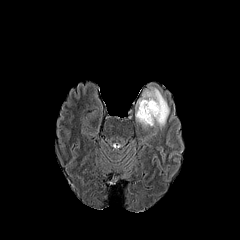
FLAIR MR.
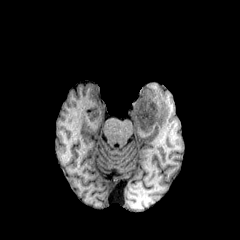
T1-weighted MR.
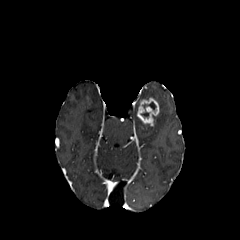
Post-contrast T1-weighted MRI.
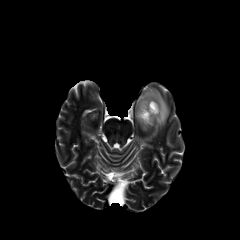
T2-weighted MR.
Axial plane, Head
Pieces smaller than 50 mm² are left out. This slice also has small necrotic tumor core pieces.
enhancing tumor: bbox(136, 97, 159, 126) | peritumoral edema: bbox(136, 116, 151, 128); bbox(135, 84, 169, 130)